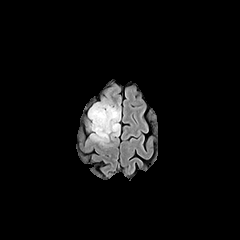
FLAIR magnetic resonance.
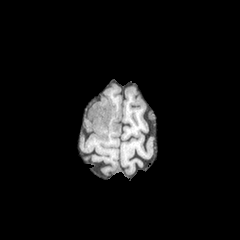
T1-weighted MR image of the same slice.
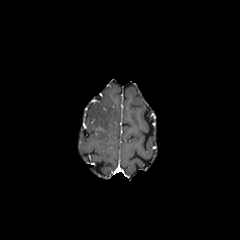
Post-contrast T1-weighted MRI.
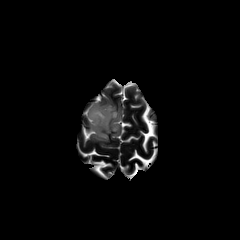
T2-weighted MR of the same slice.
Head; Axial plane; Image size 240x240
peritumoral edema — bbox=[88, 102, 120, 144]